Slice 40/155; Axial slice; Brain
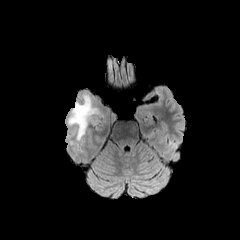
FLAIR MR image.
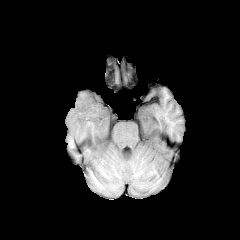
T1-weighted magnetic resonance of the same slice.
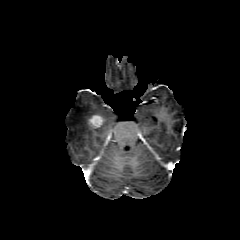
Post-contrast T1-weighted MR image.
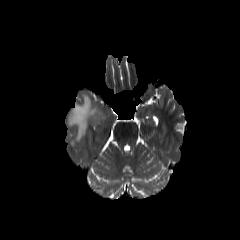
T2-weighted MR image of the same slice.
enhancing tumor = 87:115:103:128
peritumoral edema = 68:94:104:144